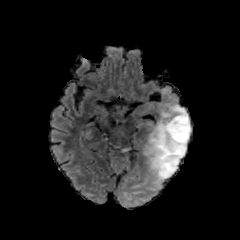
FLAIR MRI.
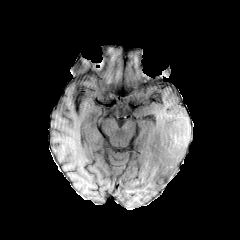
T1-weighted MR image of the same slice.
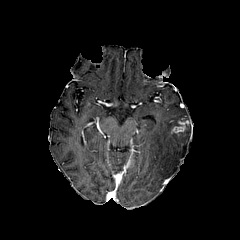
Post-contrast T1-weighted magnetic resonance.
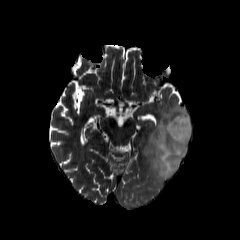
T2-weighted MR of the same slice.
Image size 240x240
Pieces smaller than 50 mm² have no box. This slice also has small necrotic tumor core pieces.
peritumoral edema: rect(143, 104, 191, 180) | enhancing tumor: rect(171, 118, 189, 134)